FLAIR MRI.
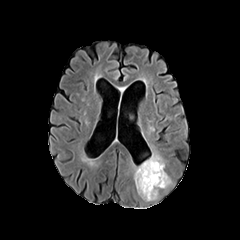
T1-weighted MR.
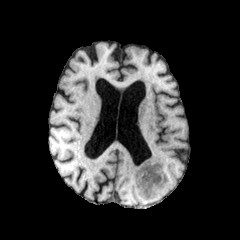
Post-contrast T1-weighted MR image.
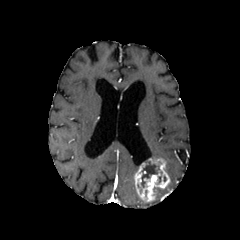
T2-weighted magnetic resonance.
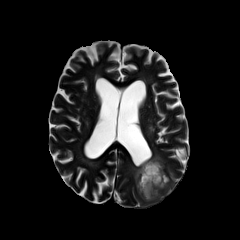
Head | Axial view
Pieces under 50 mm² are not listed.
The largest enhancing tumor region is located at 134,156,170,201. The largest peritumoral edema region is bounded by 151,144,162,156. The largest necrotic tumor core region is at 141,161,159,187.